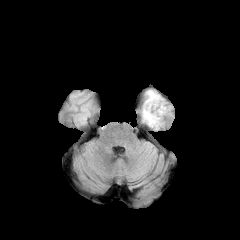
FLAIR MR image.
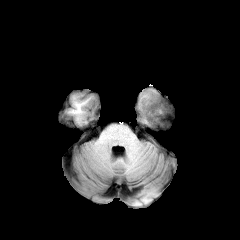
Same slice, T1-weighted MR.
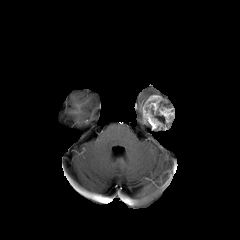
Post-contrast T1-weighted MR of the same slice.
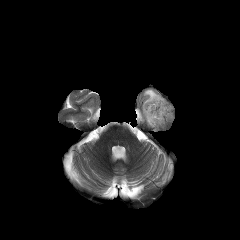
T2-weighted MR image.
Head. Axial view.
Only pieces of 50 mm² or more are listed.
{"enhancing_tumor": ["left=141, top=94, right=174, bottom=129"], "necrotic_tumor_core": ["left=154, top=115, right=164, bottom=123"], "peritumoral_edema": ["left=145, top=90, right=158, bottom=98"]}